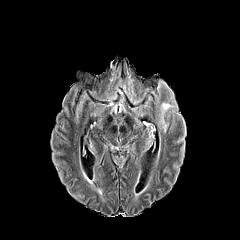
FLAIR MR.
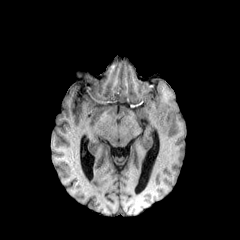
T1-weighted MRI.
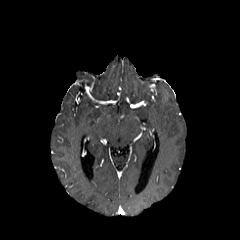
Post-contrast T1-weighted MR image of the same slice.
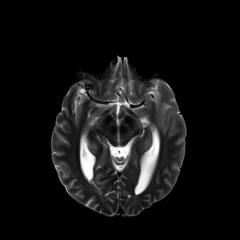
T2-weighted MRI.
Axial plane.
The peritumoral edema appears at 158,102,177,132.